240x240 px.
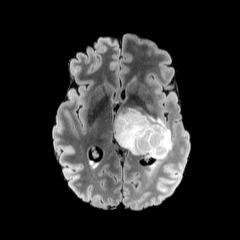
FLAIR MR.
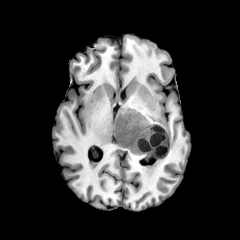
T1-weighted MR image.
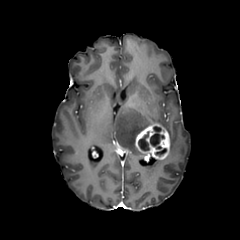
Same slice, post-contrast T1-weighted MR.
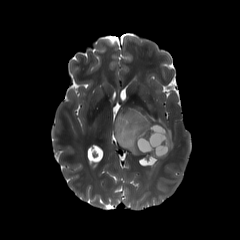
T2-weighted magnetic resonance.
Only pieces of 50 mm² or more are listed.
The largest peritumoral edema region lies within 115:108:173:154. The enhancing tumor appears at 135:124:170:159. 3 necrotic tumor core regions are bounded by 155:148:166:156, 138:131:149:151, 150:126:164:149.